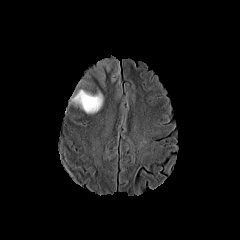
FLAIR MRI.
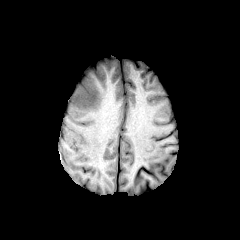
T1-weighted MRI of the same slice.
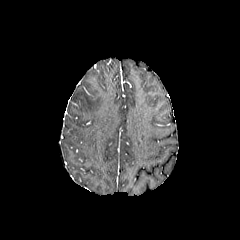
Post-contrast T1-weighted MR.
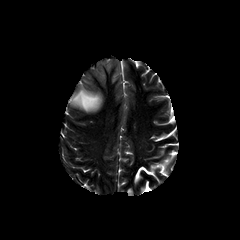
T2-weighted MRI.
Axial plane, Head
peritumoral edema — bbox(68, 57, 123, 113)